FLAIR MRI.
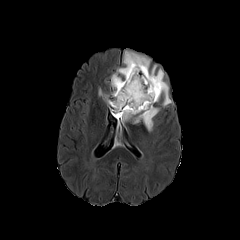
T1-weighted magnetic resonance.
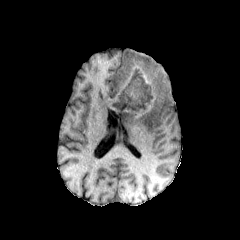
Post-contrast T1-weighted MR image.
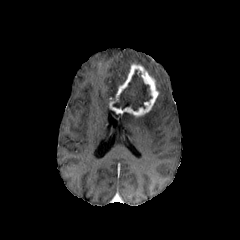
T2-weighted MR.
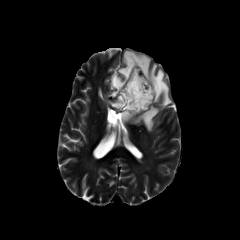
240x240. Axial plane.
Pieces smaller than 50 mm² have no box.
The enhancing tumor lies within bbox(109, 63, 159, 116). The 3 largest peritumoral edema regions are located at bbox(103, 95, 110, 106); bbox(122, 106, 159, 131); bbox(110, 50, 172, 107). The necrotic tumor core lies within bbox(113, 70, 151, 110).